Image width 240 mm, 1.00 mm slice spacing; Brain; 240x240; Axial slice; Slice index 58
FLAIR MR image.
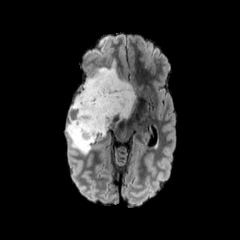
T1-weighted MR.
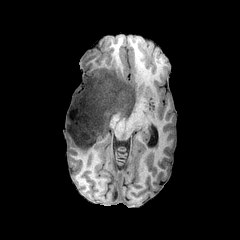
Post-contrast T1-weighted MR image.
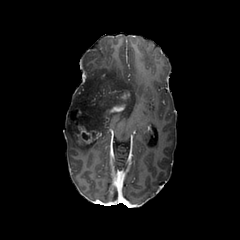
T2-weighted MR.
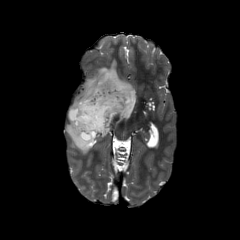
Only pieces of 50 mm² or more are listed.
The 2 largest peritumoral edema regions are located at {"x1": 70, "y1": 60, "x2": 136, "y2": 137}, {"x1": 66, "y1": 119, "x2": 91, "y2": 154}. The largest necrotic tumor core region is bounded by {"x1": 70, "y1": 110, "x2": 76, "y2": 119}. The 2 largest enhancing tumor regions appear at {"x1": 110, "y1": 104, "x2": 125, "y2": 112}, {"x1": 68, "y1": 108, "x2": 100, "y2": 145}.